Head
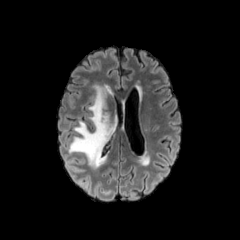
FLAIR MR image.
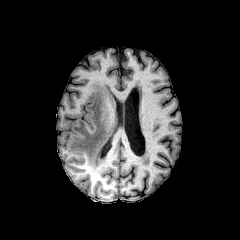
T1-weighted MRI.
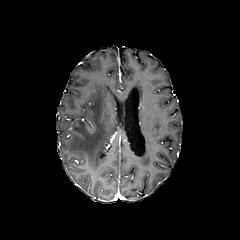
Post-contrast T1-weighted MR of the same slice.
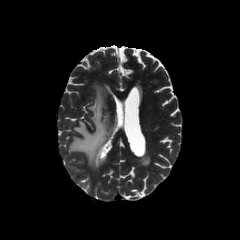
Same slice, T2-weighted MR image.
{"peritumoral_edema": ["bbox=[69, 85, 115, 168]"]}